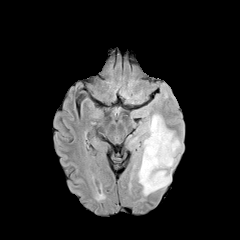
FLAIR MR image.
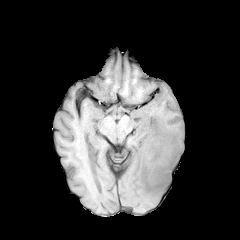
Same slice, T1-weighted MR image.
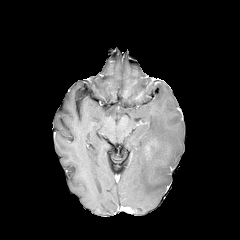
Same slice, post-contrast T1-weighted MRI.
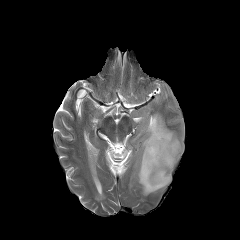
T2-weighted magnetic resonance.
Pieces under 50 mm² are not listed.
The largest peritumoral edema region is located at box=[131, 112, 182, 195].